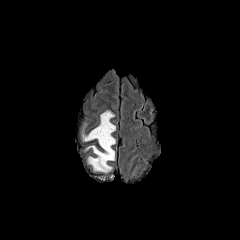
FLAIR MR.
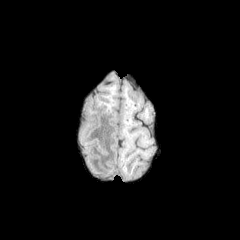
T1-weighted MR image.
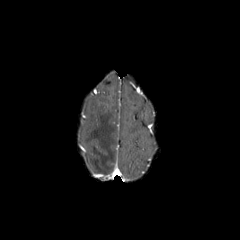
Post-contrast T1-weighted magnetic resonance.
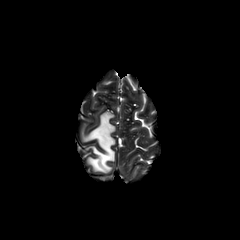
T2-weighted magnetic resonance.
240x240.
Annotated regions:
- peritumoral edema: l=82, t=110, r=115, b=172